FLAIR MR.
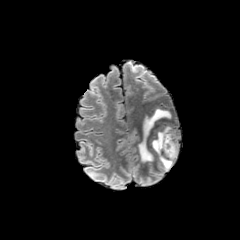
T1-weighted MR image.
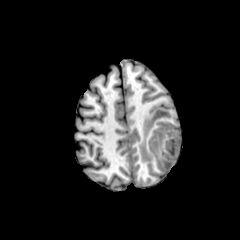
Post-contrast T1-weighted MR.
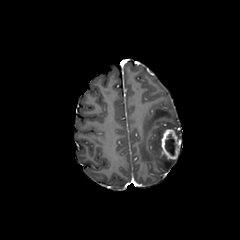
T2-weighted MRI.
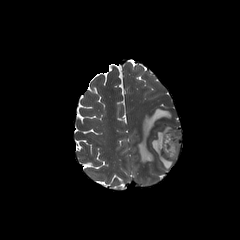
Segmented structures:
* necrotic tumor core: l=165, t=133, r=176, b=155
* peritumoral edema: l=151, t=125, r=180, b=171; l=138, t=108, r=171, b=162
* enhancing tumor: l=161, t=128, r=180, b=159